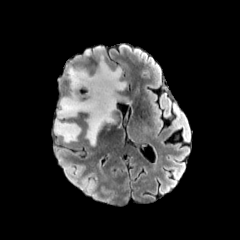
FLAIR MR.
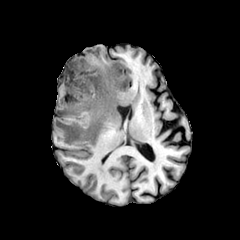
T1-weighted MRI.
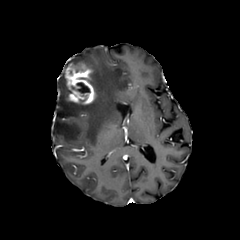
Same slice, post-contrast T1-weighted MR image.
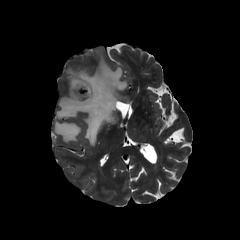
T2-weighted MR.
Brain.
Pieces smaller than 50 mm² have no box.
necrotic tumor core: bounding box 77, 83, 89, 93
enhancing tumor: bounding box 65, 63, 96, 104
peritumoral edema: bounding box 54, 47, 126, 145